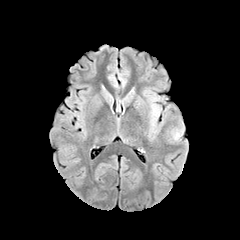
FLAIR MRI.
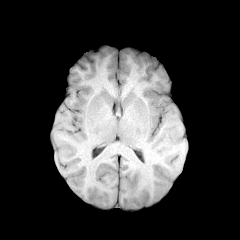
T1-weighted magnetic resonance of the same slice.
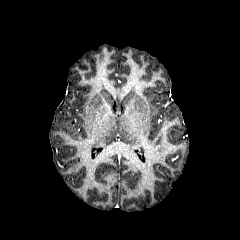
Post-contrast T1-weighted MR.
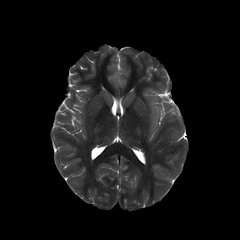
Same slice, T2-weighted MR image.
Axial view.
peritumoral edema — x1=172, y1=129, x2=183, y2=141